FLAIR MRI.
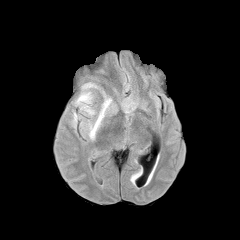
T1-weighted MR image.
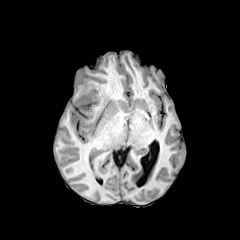
Post-contrast T1-weighted MR image.
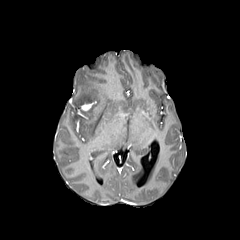
T2-weighted magnetic resonance.
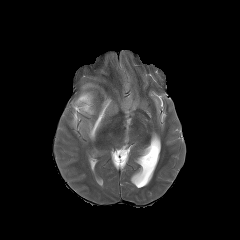
240x240. Axial plane.
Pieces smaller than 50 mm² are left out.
{
  "enhancing_tumor": [
    "81 103 93 111"
  ],
  "peritumoral_edema": [
    "82 83 96 90",
    "89 96 111 139",
    "75 92 92 109"
  ]
}